Slice index 102, Brain
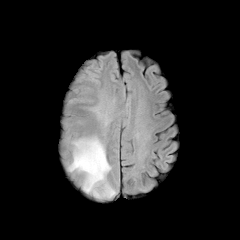
FLAIR MR.
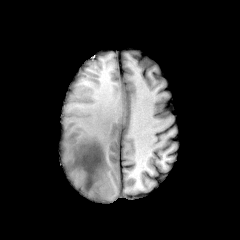
T1-weighted magnetic resonance.
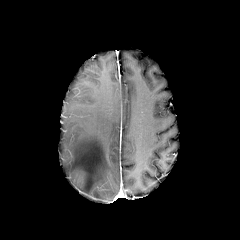
Post-contrast T1-weighted MR.
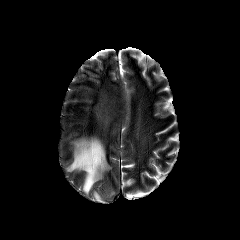
T2-weighted MR.
The peritumoral edema lies within bbox=[68, 136, 115, 198].